240x240
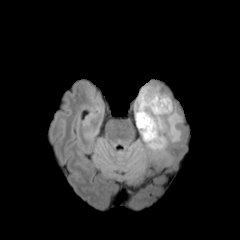
FLAIR MR.
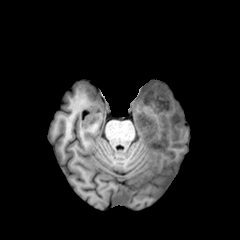
T1-weighted MR image.
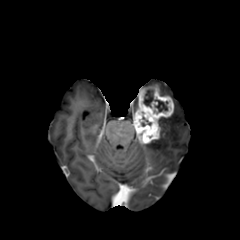
Same slice, post-contrast T1-weighted magnetic resonance.
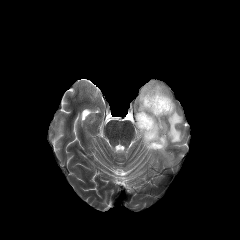
T2-weighted MR image.
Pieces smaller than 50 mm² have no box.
peritumoral_edema:
  - l=144, t=103, r=182, b=153
necrotic_tumor_core:
  - l=143, t=90, r=167, b=111
enhancing_tumor:
  - l=134, t=84, r=173, b=143